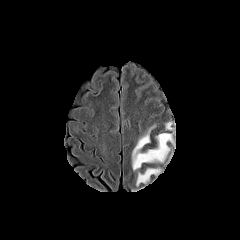
FLAIR magnetic resonance.
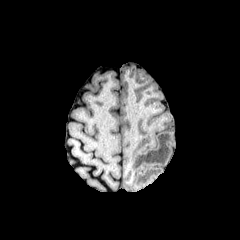
T1-weighted MR image.
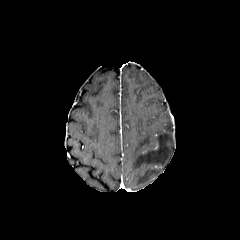
Post-contrast T1-weighted MR image of the same slice.
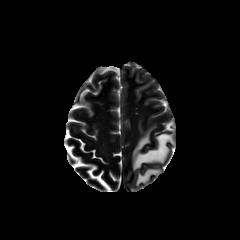
T2-weighted MRI of the same slice.
Head
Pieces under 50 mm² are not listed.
The 2 largest peritumoral edema regions appear at <bbox>136, 168, 161, 186</bbox>, <bbox>132, 127, 174, 170</bbox>.